FLAIR MR image.
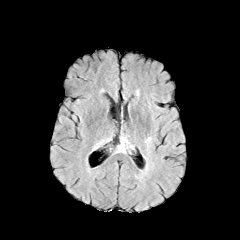
T1-weighted magnetic resonance.
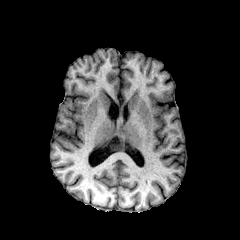
Post-contrast T1-weighted MR.
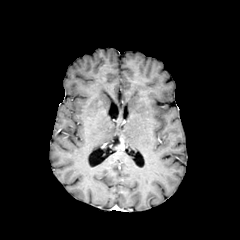
T2-weighted magnetic resonance.
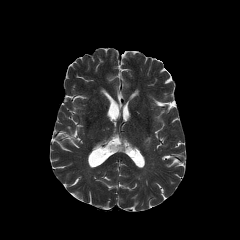
240x240.
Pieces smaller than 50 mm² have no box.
peritumoral edema: box(120, 136, 133, 148)
enhancing tumor: box(114, 138, 127, 151)